Image size 240x240
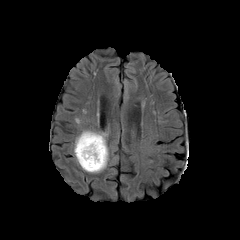
FLAIR MRI.
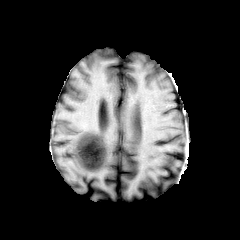
T1-weighted MR image of the same slice.
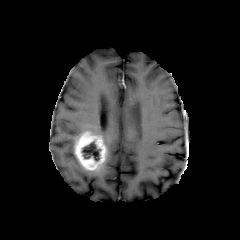
Same slice, post-contrast T1-weighted MR.
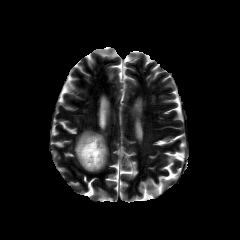
T2-weighted magnetic resonance.
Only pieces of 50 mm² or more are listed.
The enhancing tumor is located at x1=74 y1=131 x2=107 y2=170. The necrotic tumor core is bounded by x1=82 y1=142 x2=100 y2=160. The largest peritumoral edema region is located at x1=75 y1=130 x2=109 y2=172.